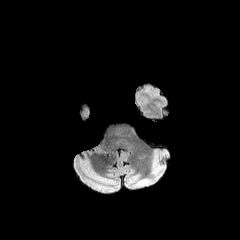
FLAIR MR image.
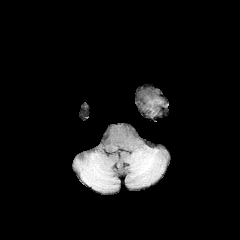
T1-weighted MR image.
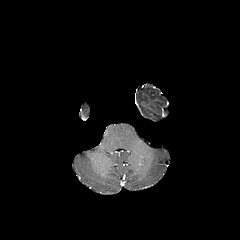
Post-contrast T1-weighted MR.
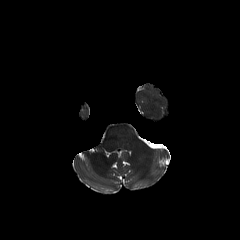
Same slice, T2-weighted magnetic resonance.
Head | 240x240 px | Axial slice
peritumoral edema at 124,126,134,134